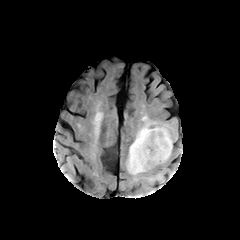
FLAIR MR.
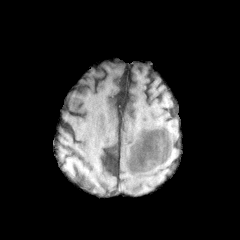
T1-weighted MRI.
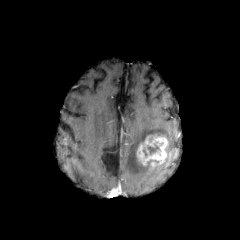
Post-contrast T1-weighted MR of the same slice.
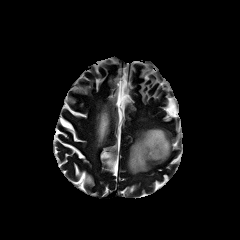
Same slice, T2-weighted magnetic resonance.
Brain; Image size 240x240
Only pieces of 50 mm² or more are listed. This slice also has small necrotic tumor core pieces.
The largest peritumoral edema region is at {"x1": 126, "y1": 123, "x2": 172, "y2": 175}. The enhancing tumor lies within {"x1": 136, "y1": 133, "x2": 170, "y2": 166}.